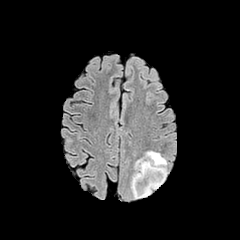
FLAIR MR image.
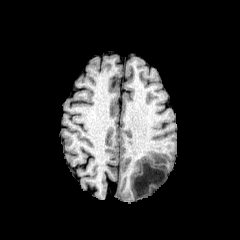
T1-weighted magnetic resonance of the same slice.
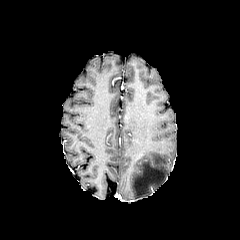
Post-contrast T1-weighted magnetic resonance of the same slice.
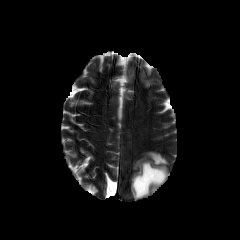
T2-weighted MRI.
Axial plane | Head
The peritumoral edema is located at bbox(131, 151, 167, 198).